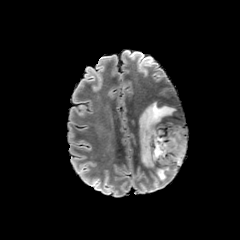
FLAIR MR image.
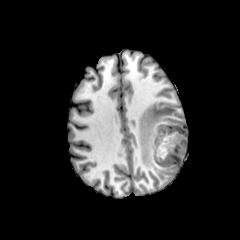
T1-weighted MR image.
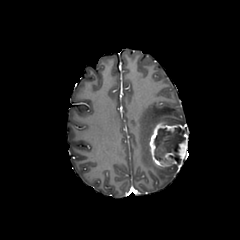
Post-contrast T1-weighted magnetic resonance.
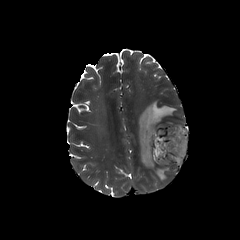
T2-weighted MRI.
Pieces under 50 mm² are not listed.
enhancing tumor: bounding box <bbox>149, 122, 188, 167</bbox>
necrotic tumor core: bounding box <bbox>154, 126, 185, 163</bbox>
peritumoral edema: bounding box <bbox>139, 100, 178, 179</bbox>